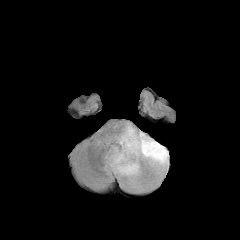
FLAIR MRI.
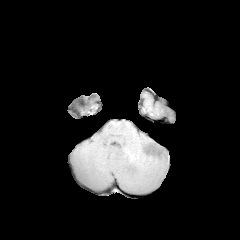
T1-weighted magnetic resonance of the same slice.
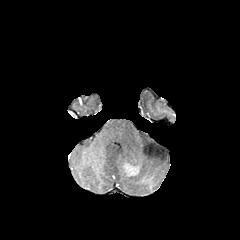
Post-contrast T1-weighted MRI of the same slice.
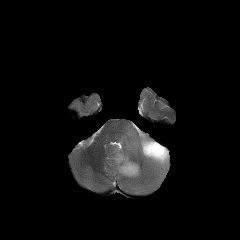
T2-weighted MRI.
240x240.
peritumoral edema = box=[105, 124, 169, 192]
enhancing tumor = box=[122, 162, 138, 175]